240x240 | Head
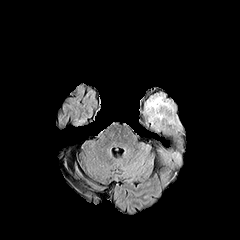
FLAIR MR image.
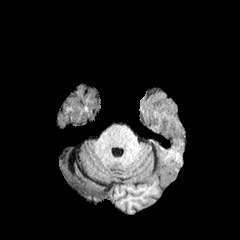
T1-weighted MRI of the same slice.
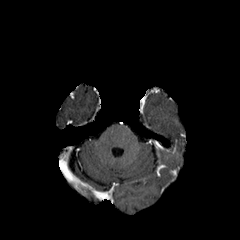
Post-contrast T1-weighted MR image.
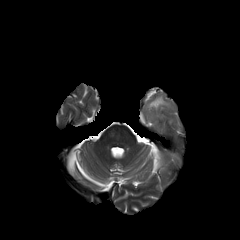
T2-weighted MRI of the same slice.
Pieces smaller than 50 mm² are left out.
{
  "peritumoral_edema": [
    "[145,95,172,119]"
  ]
}